240x240 px
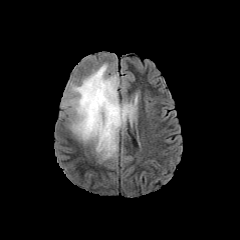
FLAIR MR image.
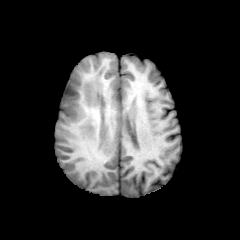
T1-weighted magnetic resonance of the same slice.
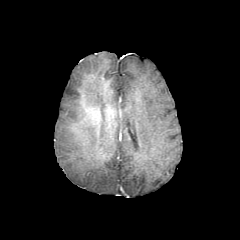
Post-contrast T1-weighted magnetic resonance.
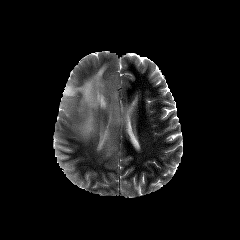
Same slice, T2-weighted MR.
Segmented structures:
* peritumoral edema: <bbox>62, 63, 137, 159</bbox>